FLAIR MRI.
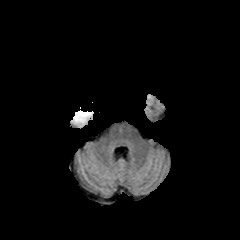
T1-weighted MR image.
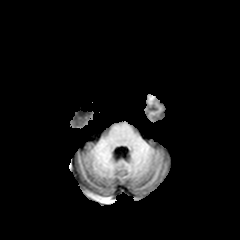
Post-contrast T1-weighted magnetic resonance.
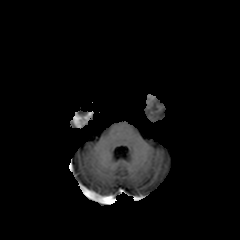
T2-weighted MR image.
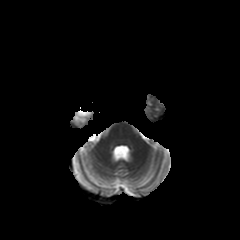
Axial view, Brain, 240x240
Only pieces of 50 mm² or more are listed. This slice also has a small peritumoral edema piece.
enhancing tumor: rect(73, 113, 90, 126)